FLAIR MRI.
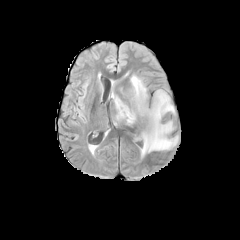
T1-weighted MR.
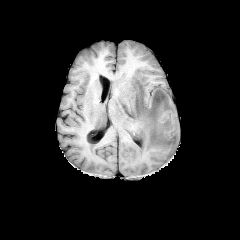
Post-contrast T1-weighted MR image.
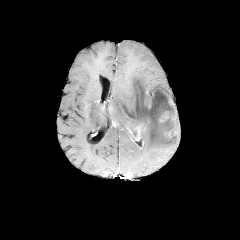
T2-weighted MR.
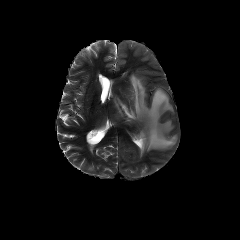
Image size 240x240.
peritumoral edema: [112, 74, 177, 156]